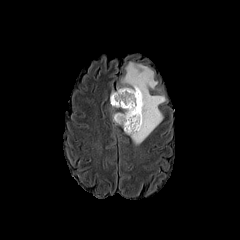
FLAIR MRI.
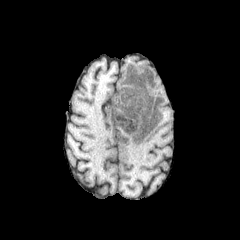
T1-weighted MRI of the same slice.
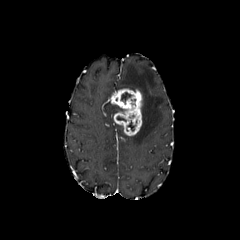
Post-contrast T1-weighted MR image of the same slice.
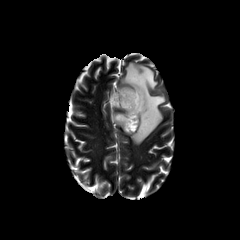
T2-weighted magnetic resonance.
240x240. Axial view.
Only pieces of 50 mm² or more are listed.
necrotic_tumor_core:
  - 121 92 131 103
enhancing_tumor:
  - 110 88 142 135
peritumoral_edema:
  - 116 59 168 145